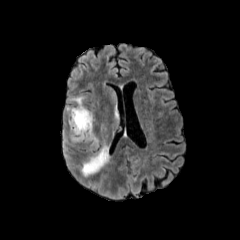
FLAIR MR.
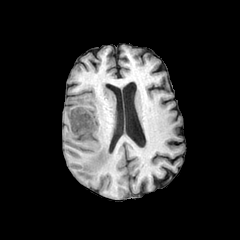
T1-weighted MR image of the same slice.
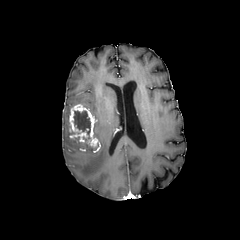
Post-contrast T1-weighted MRI.
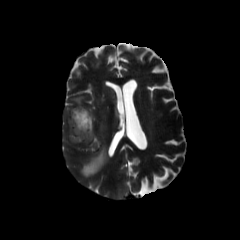
Same slice, T2-weighted MRI.
Axial plane
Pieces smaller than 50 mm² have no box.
{"necrotic_tumor_core": ["[73, 110, 90, 138]"], "enhancing_tumor": ["[68, 104, 99, 150]"], "peritumoral_edema": ["[65, 106, 72, 124]", "[69, 96, 84, 104]", "[80, 82, 119, 176]", "[63, 129, 74, 157]"]}